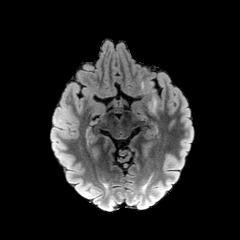
FLAIR MR.
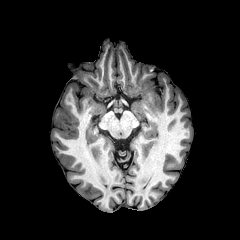
T1-weighted MR image.
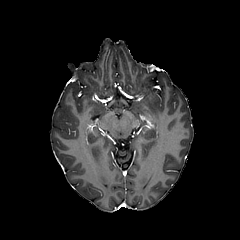
Same slice, post-contrast T1-weighted MRI.
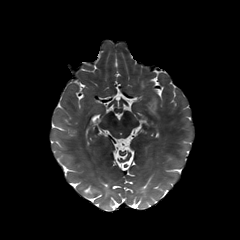
Same slice, T2-weighted MR image.
Image size 240x240
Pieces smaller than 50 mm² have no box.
peritumoral edema: bounding box <bbox>147, 93, 158, 114</bbox>